240x240 px. Head.
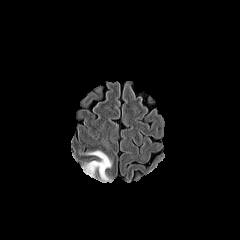
FLAIR MR.
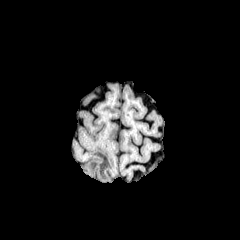
Same slice, T1-weighted MR image.
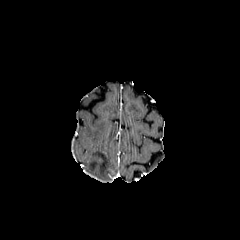
Same slice, post-contrast T1-weighted MR image.
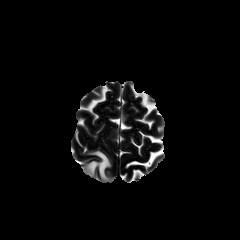
T2-weighted MR image of the same slice.
peritumoral edema — x1=84 y1=150 x2=111 y2=181